Slice 111 of 155. 240x240. Head.
FLAIR MR.
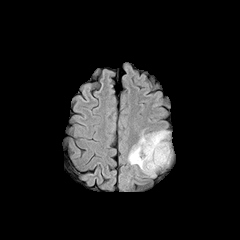
T1-weighted magnetic resonance.
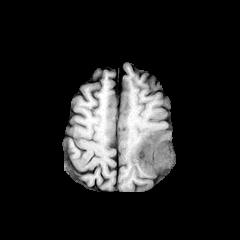
Post-contrast T1-weighted MR image.
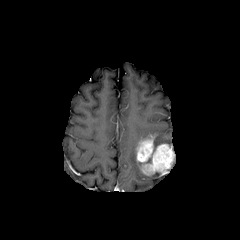
T2-weighted MRI.
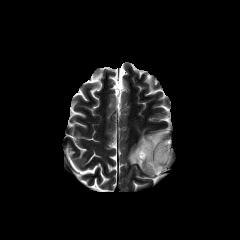
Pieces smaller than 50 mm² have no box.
<segmentation>
  <enhancing_tumor>136 134 174 175</enhancing_tumor>
  <peritumoral_edema>128 144 140 167, 139 130 170 149</peritumoral_edema>
</segmentation>